Brain; 240x240 px
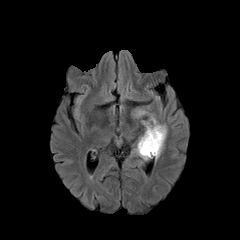
FLAIR MRI.
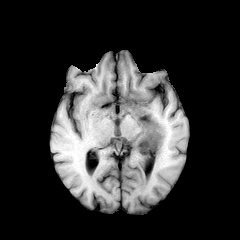
T1-weighted MR.
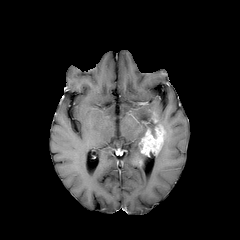
Post-contrast T1-weighted MR.
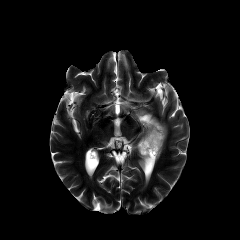
T2-weighted MRI.
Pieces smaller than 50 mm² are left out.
enhancing tumor: (left=139, top=112, right=165, bottom=156) | necrotic tumor core: (left=147, top=120, right=157, bottom=138) | peritumoral edema: (left=154, top=124, right=167, bottom=158), (left=134, top=109, right=148, bottom=117), (left=134, top=133, right=147, bottom=159)